FLAIR MRI.
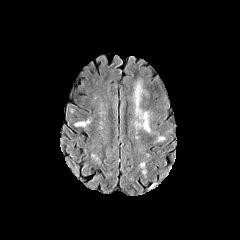
T1-weighted magnetic resonance.
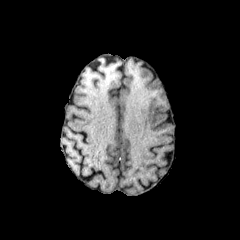
Post-contrast T1-weighted MRI.
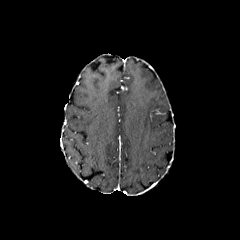
T2-weighted MRI.
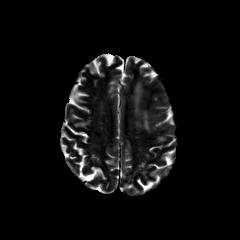
Head
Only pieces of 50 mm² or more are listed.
peritumoral edema: [x1=133, y1=82, x2=150, y2=131]